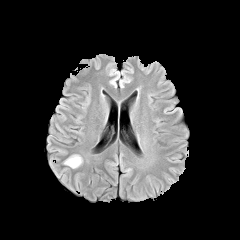
FLAIR magnetic resonance.
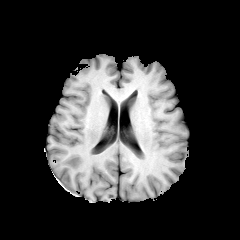
T1-weighted MR of the same slice.
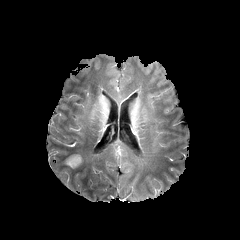
Post-contrast T1-weighted MR image of the same slice.
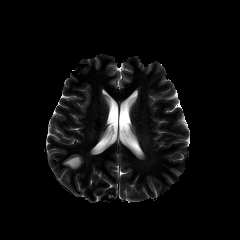
T2-weighted MR image of the same slice.
Axial view | Brain
The enhancing tumor is located at <bbox>67, 157, 80, 166</bbox>. The peritumoral edema lies within <bbox>64, 154, 82, 168</bbox>.